FLAIR MR.
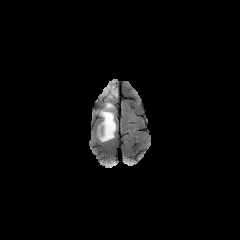
T1-weighted magnetic resonance.
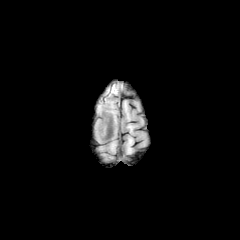
Post-contrast T1-weighted MR image.
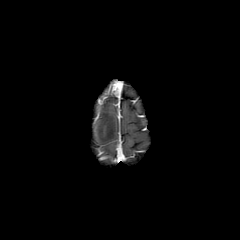
T2-weighted MRI.
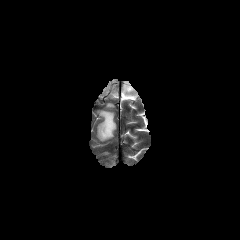
Head.
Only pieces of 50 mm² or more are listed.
The enhancing tumor is bounded by 111,84,117,96. The largest peritumoral edema region appears at 98,110,115,141.